FLAIR magnetic resonance.
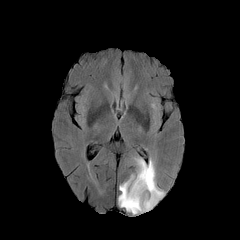
T1-weighted MR.
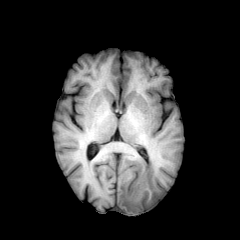
Post-contrast T1-weighted MRI.
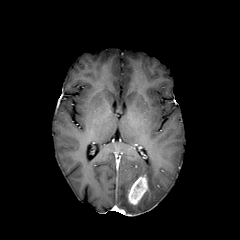
T2-weighted MR image.
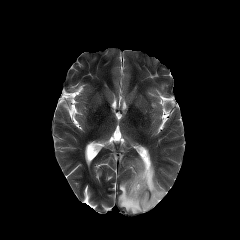
Head
peritumoral edema = l=118, t=158, r=165, b=214
enhancing tumor = l=128, t=175, r=148, b=203